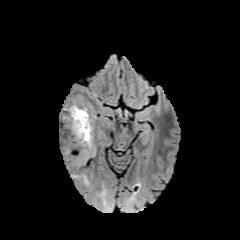
FLAIR MRI.
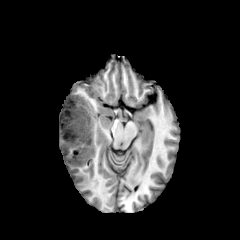
T1-weighted magnetic resonance.
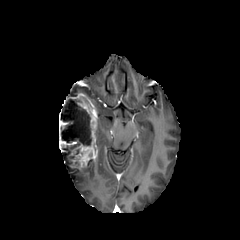
Same slice, post-contrast T1-weighted magnetic resonance.
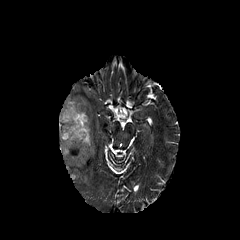
T2-weighted MRI.
Axial view
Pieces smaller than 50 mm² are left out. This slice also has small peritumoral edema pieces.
{"necrotic_tumor_core": ["x1=61, y1=99, x2=91, y2=155"], "enhancing_tumor": ["x1=59, y1=109, x2=78, y2=152", "x1=63, y1=93, x2=97, y2=172"]}